FLAIR MRI.
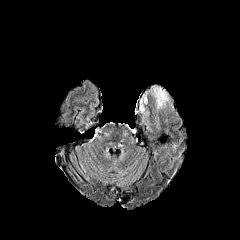
T1-weighted MRI.
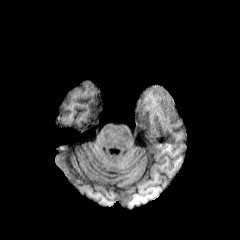
Post-contrast T1-weighted magnetic resonance.
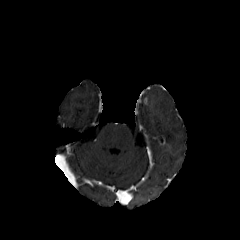
T2-weighted MR.
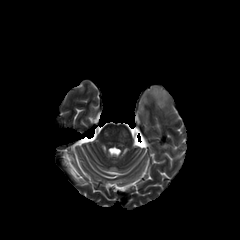
240x240 px
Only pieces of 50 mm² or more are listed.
peritumoral edema: box(151, 87, 168, 108)